FLAIR magnetic resonance.
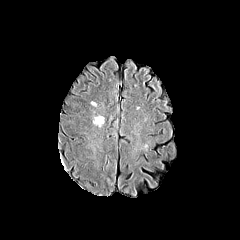
T1-weighted MRI.
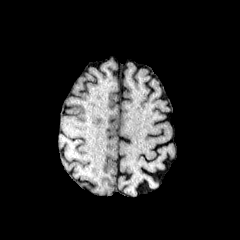
Post-contrast T1-weighted MR.
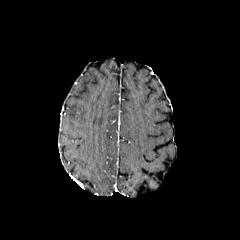
T2-weighted MRI.
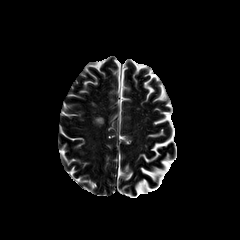
Axial view | Head
peritumoral_edema:
  - <box>95,117,103,124</box>